FLAIR MRI.
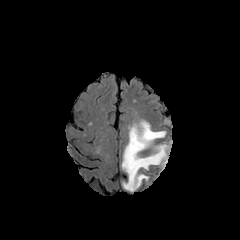
T1-weighted MR.
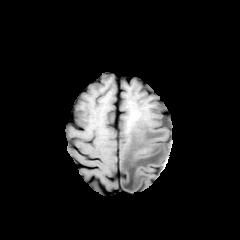
Post-contrast T1-weighted magnetic resonance.
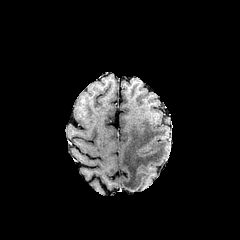
T2-weighted MR image.
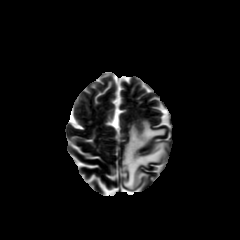
Axial view | Brain | 240x240 px
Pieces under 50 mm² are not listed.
peritumoral edema — 121, 120, 169, 191